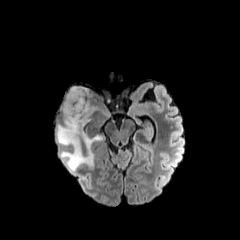
FLAIR magnetic resonance.
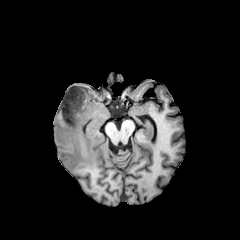
Same slice, T1-weighted MRI.
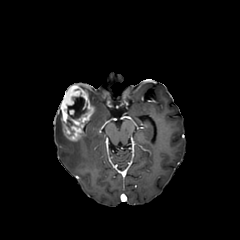
Post-contrast T1-weighted MR.
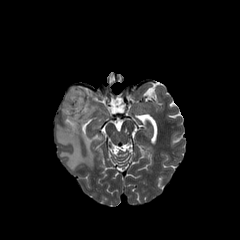
T2-weighted MR of the same slice.
Axial view
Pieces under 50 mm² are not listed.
necrotic tumor core = (67,97,86,119)
enhancing tumor = (60,84,94,141)
peritumoral edema = (56,124,102,170)